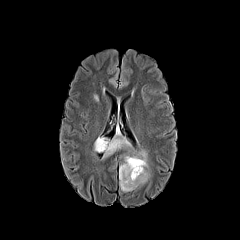
FLAIR MR.
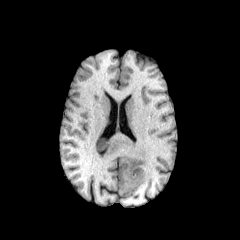
T1-weighted magnetic resonance.
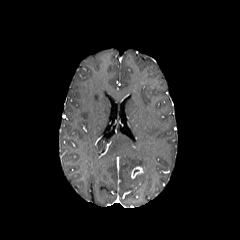
Post-contrast T1-weighted MR image of the same slice.
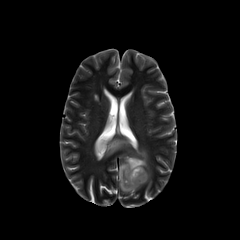
Same slice, T2-weighted magnetic resonance.
Axial plane. Image size 240x240.
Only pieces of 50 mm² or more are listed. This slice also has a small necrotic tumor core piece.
peritumoral edema: bbox(119, 150, 149, 191); bbox(94, 131, 130, 158) | enhancing tumor: bbox(131, 166, 143, 178)